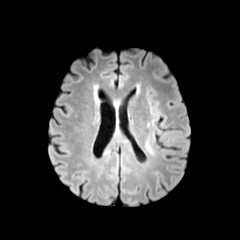
FLAIR MR.
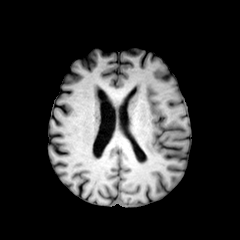
Same slice, T1-weighted MR image.
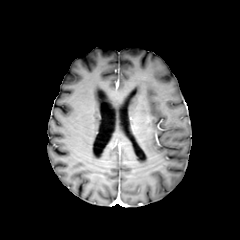
Post-contrast T1-weighted MRI of the same slice.
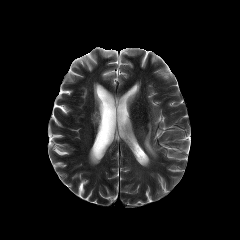
T2-weighted MR image of the same slice.
Head. 240x240.
The peritumoral edema lies within l=146, t=139, r=153, b=153.